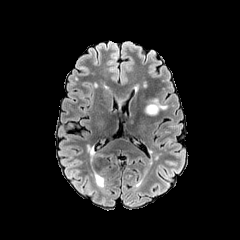
FLAIR MRI.
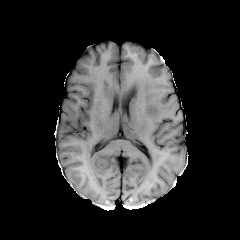
T1-weighted MR image of the same slice.
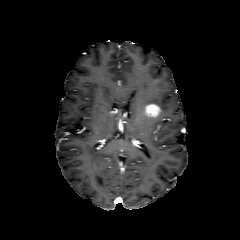
Post-contrast T1-weighted magnetic resonance.
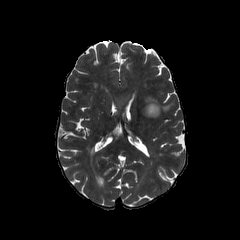
T2-weighted MR image of the same slice.
Head. Axial view.
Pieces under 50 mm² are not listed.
Segmented structures:
- enhancing tumor: rect(145, 104, 160, 117)
- peritumoral edema: rect(147, 98, 169, 111)